Slice 112 of 155
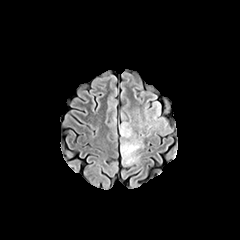
FLAIR MR.
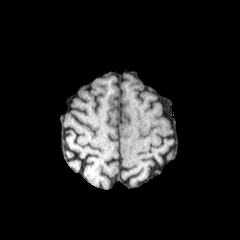
T1-weighted MRI of the same slice.
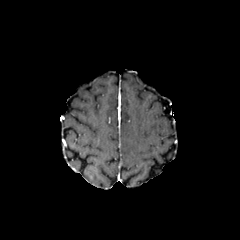
Post-contrast T1-weighted magnetic resonance of the same slice.
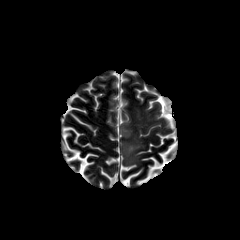
Same slice, T2-weighted MR.
peritumoral edema — rect(121, 135, 143, 162); rect(121, 122, 132, 137)